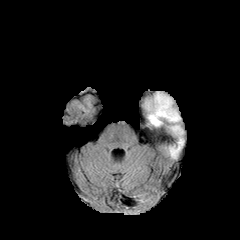
FLAIR magnetic resonance.
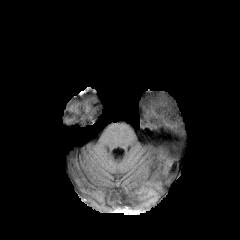
Same slice, T1-weighted MRI.
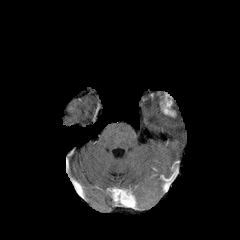
Same slice, post-contrast T1-weighted MR.
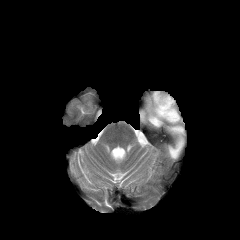
T2-weighted MRI of the same slice.
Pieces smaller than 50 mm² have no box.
Findings:
* peritumoral edema: 145, 92, 183, 158
* enhancing tumor: 157, 91, 176, 117